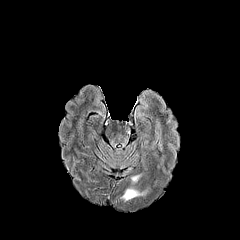
FLAIR MRI.
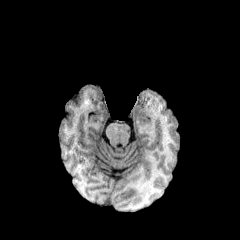
T1-weighted MR.
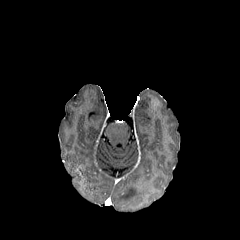
Post-contrast T1-weighted MRI.
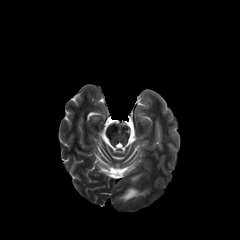
Same slice, T2-weighted MR.
240x240. Head.
peritumoral edema: box(120, 187, 147, 201); box(131, 174, 141, 183)